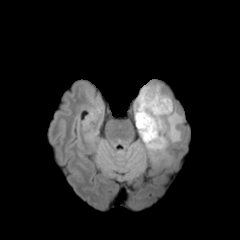
FLAIR MRI.
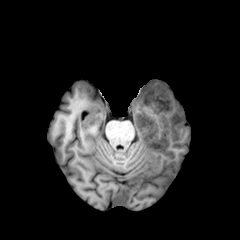
T1-weighted magnetic resonance of the same slice.
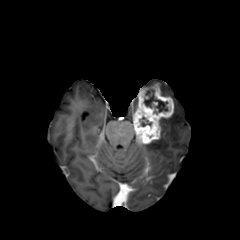
Post-contrast T1-weighted MR.
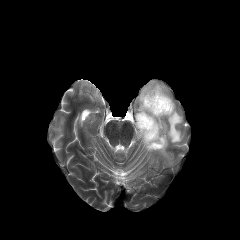
T2-weighted MRI.
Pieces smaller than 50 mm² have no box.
* peritumoral edema: x1=160 y1=84 x2=169 y2=95, x1=143 y1=103 x2=182 y2=153
* necrotic tumor core: x1=144 y1=90 x2=167 y2=113
* enhancing tumor: x1=134 y1=83 x2=173 y2=143